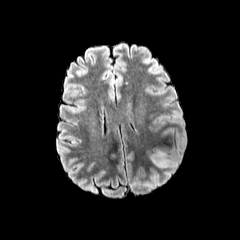
FLAIR magnetic resonance.
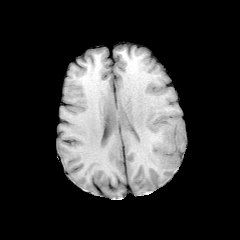
T1-weighted MRI of the same slice.
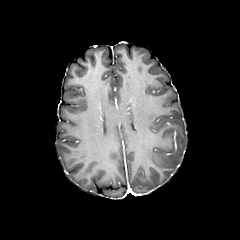
Same slice, post-contrast T1-weighted MRI.
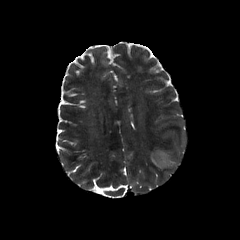
T2-weighted MRI.
Axial slice
peritumoral_edema:
  - region(147, 150, 177, 168)